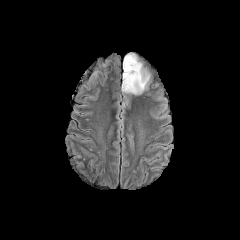
FLAIR MR.
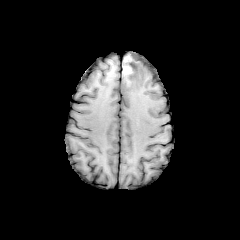
T1-weighted magnetic resonance.
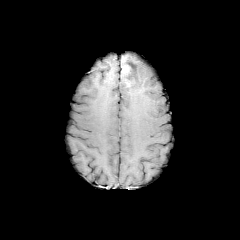
Same slice, post-contrast T1-weighted MRI.
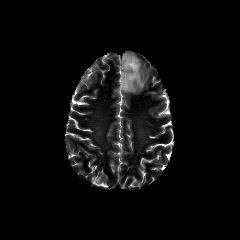
Same slice, T2-weighted MRI.
Image size 240x240; Axial view
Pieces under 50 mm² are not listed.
necrotic tumor core at box=[123, 56, 135, 85]
peritumoral edema at box=[121, 53, 149, 94]
enhancing tumor at box=[123, 65, 129, 76]; box=[123, 78, 132, 87]